Slice index 125 | Image size 240x240 | Image covers 240 mm x 240 mm | Brain
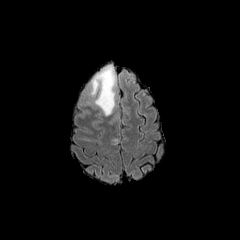
FLAIR MR.
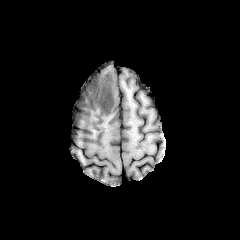
T1-weighted MRI.
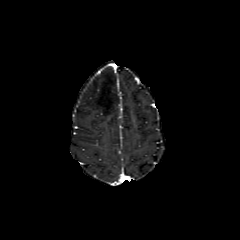
Post-contrast T1-weighted MRI.
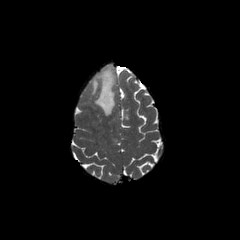
T2-weighted magnetic resonance.
peritumoral_edema:
  - bbox(89, 66, 116, 115)